FLAIR MR.
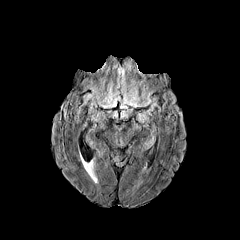
T1-weighted MR image.
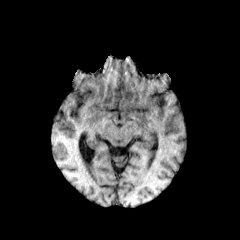
Post-contrast T1-weighted magnetic resonance.
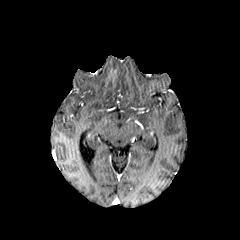
T2-weighted magnetic resonance.
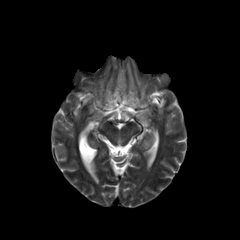
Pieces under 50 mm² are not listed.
* peritumoral edema: [91,64,153,108]
* enhancing tumor: [125,92,134,99]